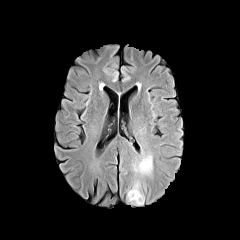
FLAIR magnetic resonance.
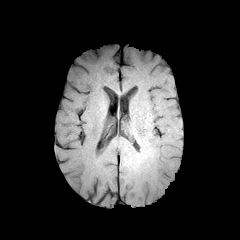
T1-weighted MRI.
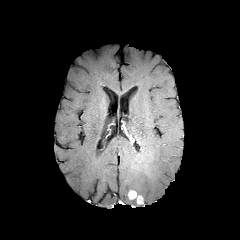
Post-contrast T1-weighted MR image of the same slice.
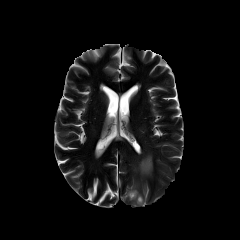
T2-weighted magnetic resonance.
Axial plane
Findings:
- peritumoral edema: l=139, t=155, r=152, b=174; l=127, t=184, r=144, b=204
- enhancing tumor: l=128, t=190, r=143, b=204